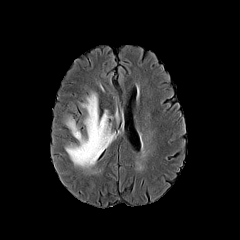
FLAIR magnetic resonance.
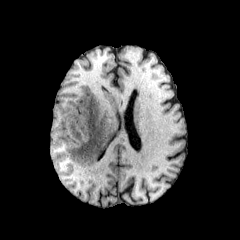
T1-weighted MR of the same slice.
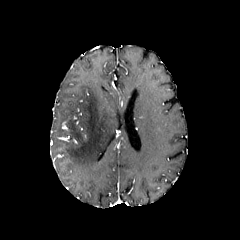
Post-contrast T1-weighted MR image.
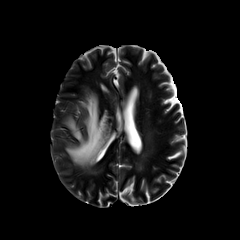
T2-weighted MRI.
240x240 px; Head
Annotated regions:
* peritumoral edema: left=66, top=93, right=114, bottom=167